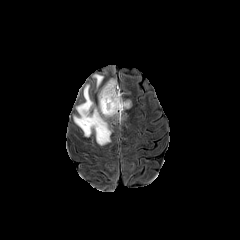
FLAIR MRI.
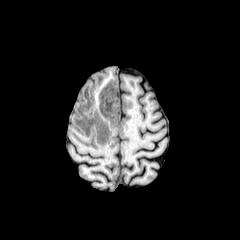
Same slice, T1-weighted MR.
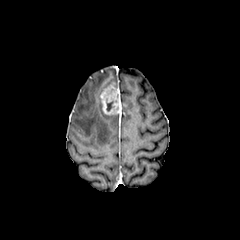
Post-contrast T1-weighted MR image.
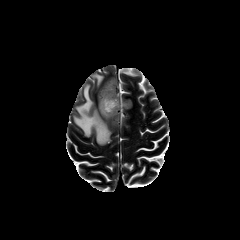
T2-weighted MR image of the same slice.
240x240 px.
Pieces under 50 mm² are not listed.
peritumoral edema at bbox=[93, 74, 103, 86]; bbox=[99, 79, 117, 117]; bbox=[73, 84, 111, 145]
necrotic tumor core at bbox=[106, 101, 113, 111]
enhancing tumor at bbox=[100, 83, 122, 115]